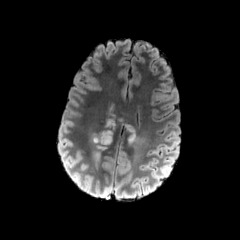
FLAIR magnetic resonance.
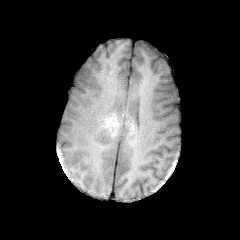
T1-weighted magnetic resonance.
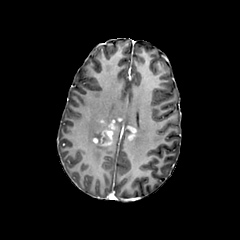
Post-contrast T1-weighted MRI of the same slice.
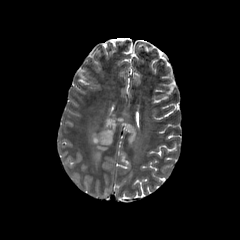
T2-weighted MR of the same slice.
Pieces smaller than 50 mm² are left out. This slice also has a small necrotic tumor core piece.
Segmented structures:
* peritumoral edema: l=127, t=135, r=149, b=158; l=89, t=131, r=109, b=171
* enhancing tumor: l=125, t=125, r=136, b=140; l=93, t=118, r=123, b=145